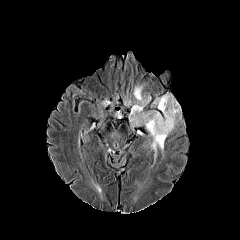
FLAIR magnetic resonance.
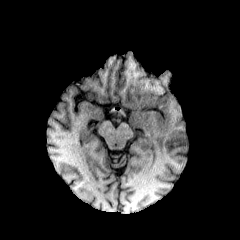
T1-weighted magnetic resonance.
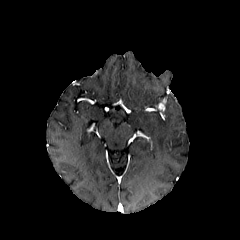
Post-contrast T1-weighted MRI of the same slice.
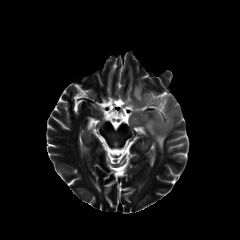
T2-weighted magnetic resonance.
Brain.
3 peritumoral edema regions are located at 132 86 150 111, 132 117 140 125, 142 95 180 152. The enhancing tumor is bounded by 158 97 166 112.